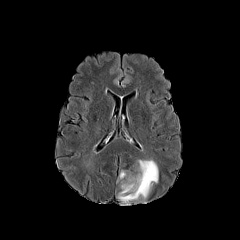
FLAIR MR.
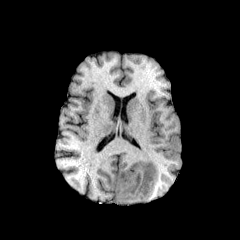
T1-weighted MR image.
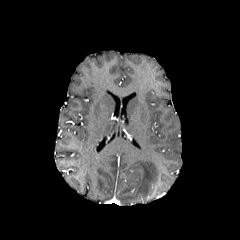
Post-contrast T1-weighted MRI of the same slice.
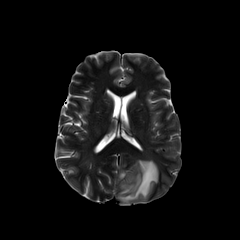
T2-weighted MR.
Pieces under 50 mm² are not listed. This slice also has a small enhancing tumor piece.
peritumoral_edema:
  - 117:159:158:204